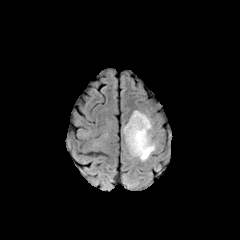
FLAIR magnetic resonance.
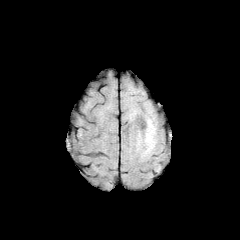
Same slice, T1-weighted MR image.
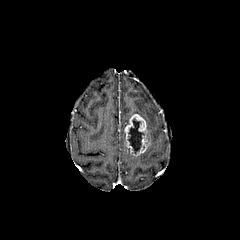
Post-contrast T1-weighted MR of the same slice.
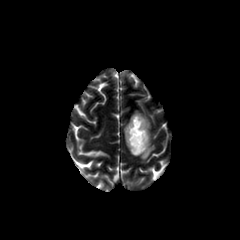
T2-weighted magnetic resonance.
Axial view. Head.
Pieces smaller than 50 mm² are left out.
Annotated regions:
• enhancing tumor: (x1=124, y1=114, x2=150, y2=156)
• peritumoral edema: (x1=132, y1=110, x2=155, y2=160)
• necrotic tumor core: (x1=128, y1=118, x2=144, y2=153)